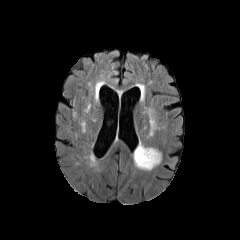
FLAIR magnetic resonance.
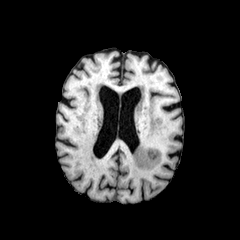
Same slice, T1-weighted MR image.
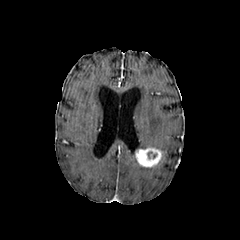
Post-contrast T1-weighted MRI.
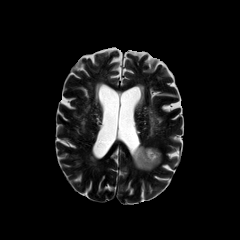
T2-weighted MR of the same slice.
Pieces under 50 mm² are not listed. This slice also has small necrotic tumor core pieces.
{
  "enhancing_tumor": [
    "<box>135,147,162,167</box>"
  ],
  "peritumoral_edema": [
    "<box>148,109,158,135</box>",
    "<box>132,152,157,171</box>"
  ]
}